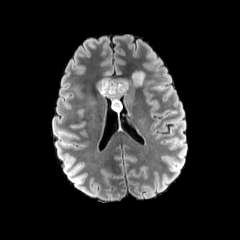
FLAIR magnetic resonance.
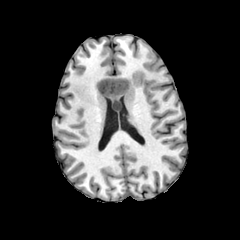
T1-weighted magnetic resonance of the same slice.
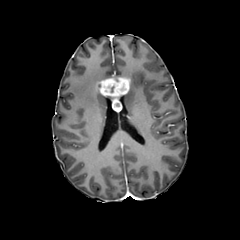
Post-contrast T1-weighted MR.
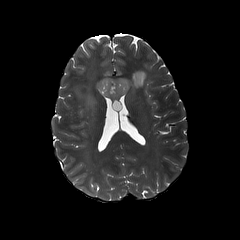
T2-weighted MR.
Brain. Axial slice.
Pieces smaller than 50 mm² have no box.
<segmentation>
  <enhancing_tumor>rect(97, 77, 130, 111)</enhancing_tumor>
  <peritumoral_edema>rect(125, 70, 145, 88); rect(72, 84, 96, 106)</peritumoral_edema>
</segmentation>